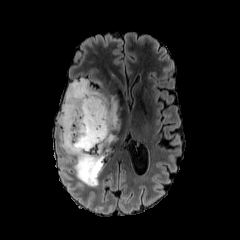
FLAIR MR.
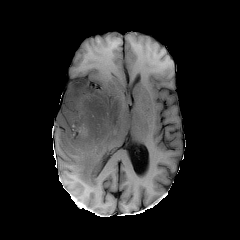
T1-weighted magnetic resonance.
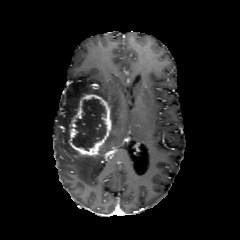
Post-contrast T1-weighted MR image.
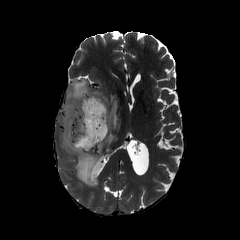
Same slice, T2-weighted magnetic resonance.
Axial view | Head
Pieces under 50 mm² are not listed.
<segmentation>
  <enhancing_tumor>l=67, t=94, r=111, b=157</enhancing_tumor>
  <peritumoral_edema>l=58, t=79, r=119, b=186</peritumoral_edema>
  <necrotic_tumor_core>l=73, t=98, r=105, b=150</necrotic_tumor_core>
</segmentation>